Slice index 73. Brain.
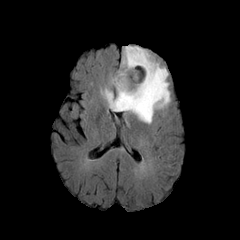
FLAIR MRI.
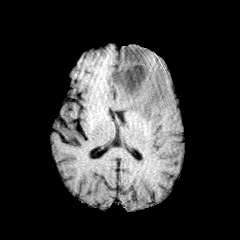
Same slice, T1-weighted magnetic resonance.
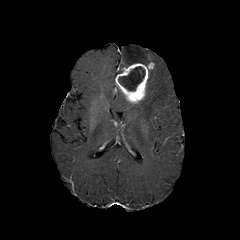
Post-contrast T1-weighted magnetic resonance.
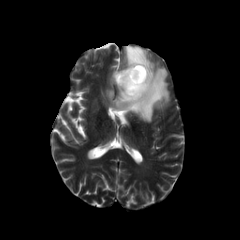
T2-weighted MRI.
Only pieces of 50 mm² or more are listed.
<segmentation>
  <peritumoral_edema>(x1=102, y1=45, x2=170, y2=123)</peritumoral_edema>
  <enhancing_tumor>(x1=115, y1=62, x2=154, y2=104)</enhancing_tumor>
  <necrotic_tumor_core>(x1=118, y1=66, x2=144, y2=90)</necrotic_tumor_core>
</segmentation>